Axial view. Slice 118 of 155. Image width 240 mm, 1.00 mm slice spacing.
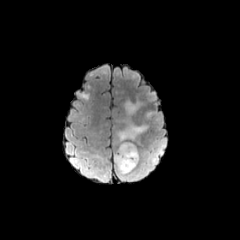
FLAIR MR.
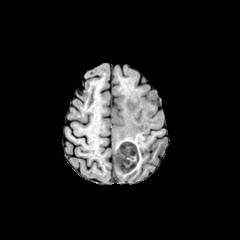
T1-weighted MRI.
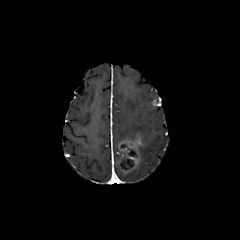
Post-contrast T1-weighted MR.
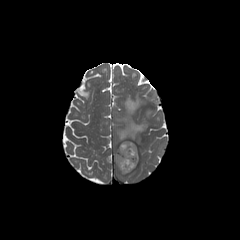
T2-weighted MRI.
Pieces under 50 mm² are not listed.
<segmentation>
  <peritumoral_edema>(150, 93, 161, 105), (124, 100, 142, 114), (114, 153, 141, 180), (151, 143, 163, 162), (118, 121, 147, 142)</peritumoral_edema>
  <enhancing_tumor>(151, 98, 159, 106), (116, 138, 141, 173)</enhancing_tumor>
  <necrotic_tumor_core>(127, 148, 138, 157), (120, 156, 133, 169)</necrotic_tumor_core>
</segmentation>